240x240 px | Slice 63 of 155 | Axial slice
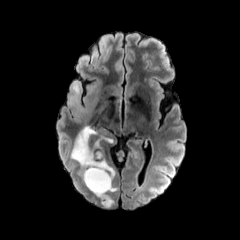
FLAIR MR image.
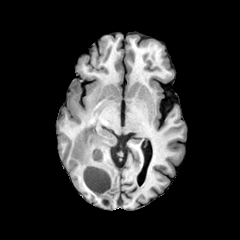
Same slice, T1-weighted magnetic resonance.
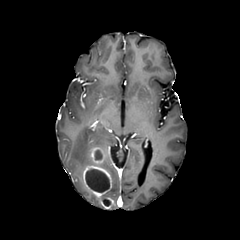
Same slice, post-contrast T1-weighted MR image.
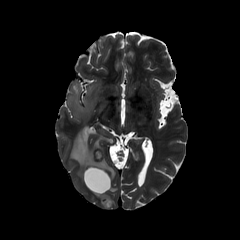
T2-weighted MRI.
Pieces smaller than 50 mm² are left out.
<segmentation>
  <peritumoral_edema>(x1=68, y1=80, x2=113, y2=168), (x1=101, y1=159, x2=114, y2=181)</peritumoral_edema>
  <necrotic_tumor_core>(x1=85, y1=169, x2=109, y2=192), (x1=95, y1=151, x2=101, y2=159)</necrotic_tumor_core>
  <enhancing_tumor>(x1=100, y1=197, x2=113, y2=208), (x1=82, y1=147, x2=111, y2=198)</enhancing_tumor>
</segmentation>